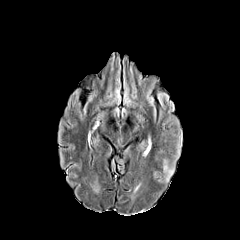
FLAIR MRI.
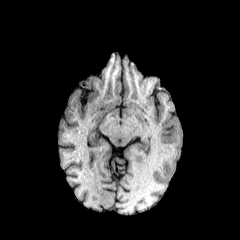
T1-weighted MRI.
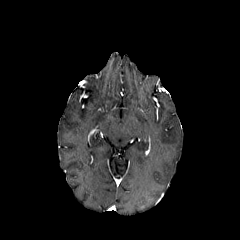
Post-contrast T1-weighted MR image.
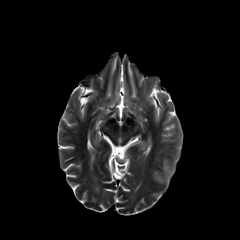
T2-weighted magnetic resonance of the same slice.
peritumoral_edema:
  - l=163, t=160, r=173, b=180